Image covers 240 mm x 240 mm | 240x240 px
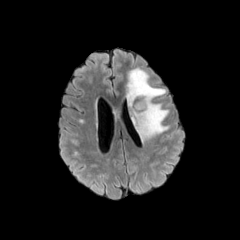
FLAIR MRI.
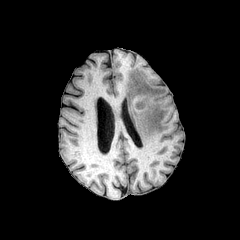
Same slice, T1-weighted MRI.
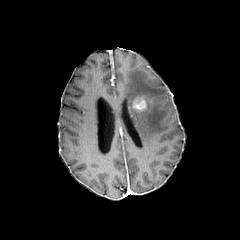
Post-contrast T1-weighted MR.
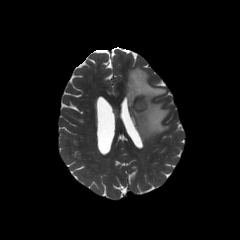
T2-weighted MR image of the same slice.
peritumoral edema: 126, 68, 168, 141
enhancing tumor: 133, 99, 146, 110